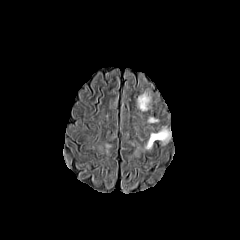
FLAIR MR.
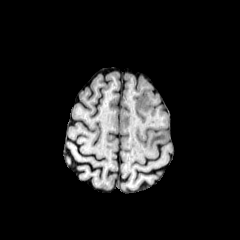
Same slice, T1-weighted MRI.
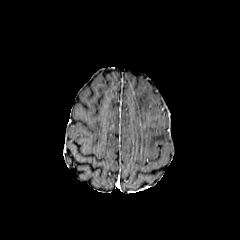
Post-contrast T1-weighted MRI.
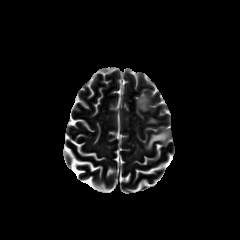
T2-weighted magnetic resonance.
Axial view
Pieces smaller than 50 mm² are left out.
The 2 largest peritumoral edema regions are located at x1=137, y1=93, x2=150, y2=110; x1=145, y1=129, x2=168, y2=149.